FLAIR magnetic resonance.
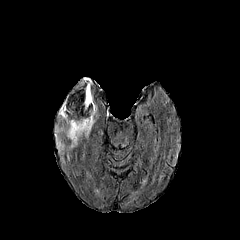
T1-weighted MRI.
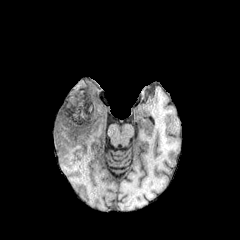
Post-contrast T1-weighted MR.
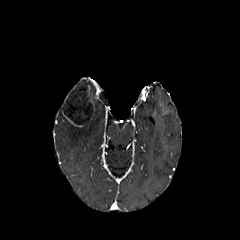
T2-weighted magnetic resonance.
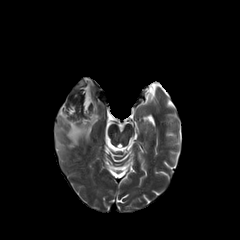
240x240, Brain, Axial view
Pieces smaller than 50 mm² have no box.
The largest peritumoral edema region is at [x1=55, y1=104, x2=97, y2=150]. 3 enhancing tumor regions appear at [x1=62, y1=111, x2=82, y2=126], [x1=85, y1=85, x2=94, y2=111], [x1=67, y1=80, x2=86, y2=100]. The necrotic tumor core appears at [x1=62, y1=81, x2=92, y2=124].